Slice 101 of 155, Brain, Axial view
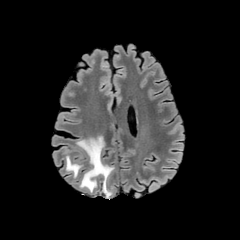
FLAIR magnetic resonance.
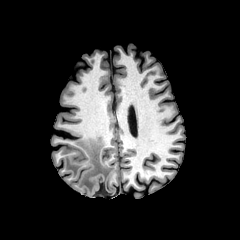
Same slice, T1-weighted MR.
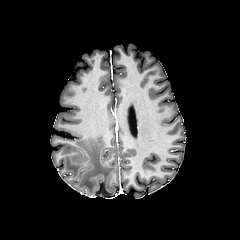
Post-contrast T1-weighted MR image.
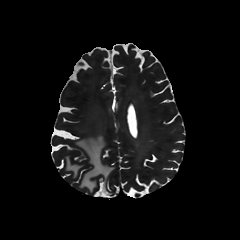
Same slice, T2-weighted MR image.
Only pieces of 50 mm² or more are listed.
The 2 largest peritumoral edema regions appear at rect(65, 155, 82, 177); rect(76, 137, 114, 192).